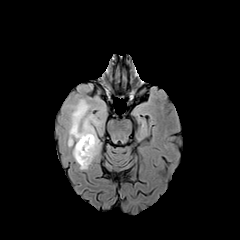
FLAIR MR image.
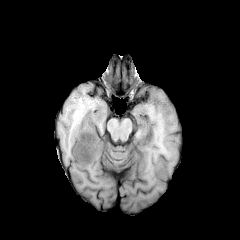
T1-weighted MRI.
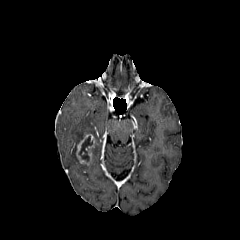
Post-contrast T1-weighted magnetic resonance of the same slice.
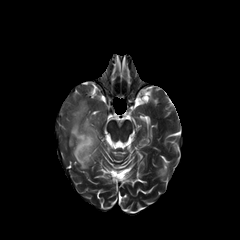
Same slice, T2-weighted MR.
Axial slice, Brain
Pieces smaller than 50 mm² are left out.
necrotic tumor core: 78:136:92:162
enhancing tumor: 76:134:95:165
peritumoral edema: 55:85:107:169